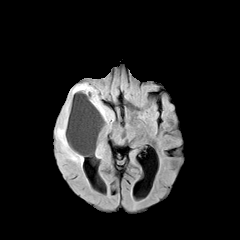
FLAIR MR image.
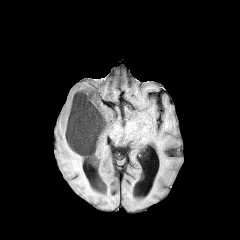
Same slice, T1-weighted MR.
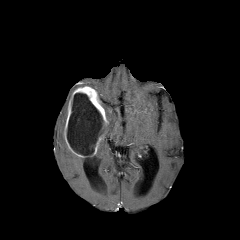
Post-contrast T1-weighted MRI.
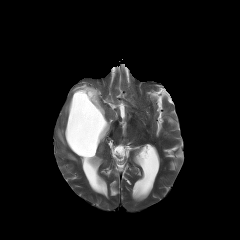
T2-weighted MR image.
Head; 240x240 px; Axial plane
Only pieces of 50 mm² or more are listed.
enhancing tumor — rect(64, 86, 108, 157)
necrotic tumor core — rect(67, 93, 104, 155)
peritumoral edema — rect(56, 83, 89, 164); rect(101, 102, 114, 136); rect(95, 140, 103, 156)